FLAIR MR image.
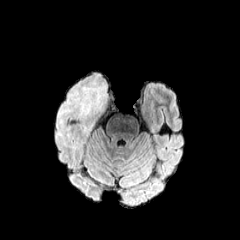
T1-weighted MRI.
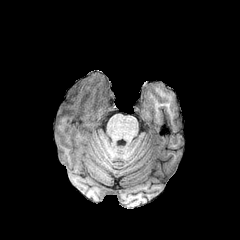
Post-contrast T1-weighted MRI.
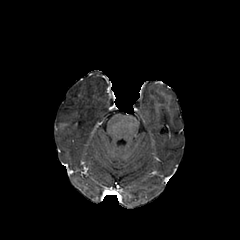
T2-weighted MRI.
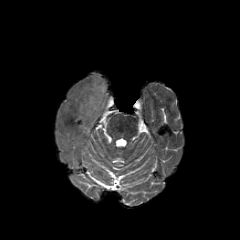
Brain
peritumoral edema at (x1=55, y1=72, x2=109, y2=129)